FLAIR MR.
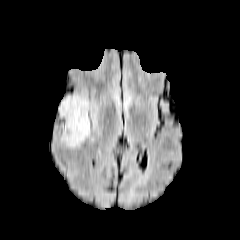
T1-weighted MR.
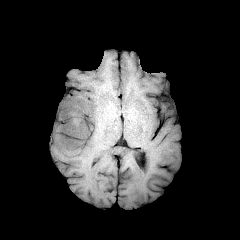
Post-contrast T1-weighted magnetic resonance.
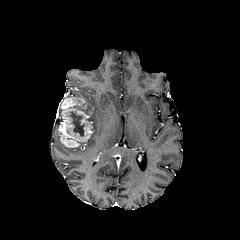
T2-weighted MR image.
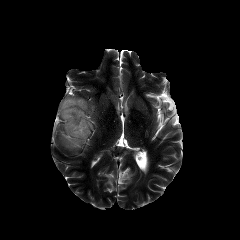
240x240 px
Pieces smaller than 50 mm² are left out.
peritumoral edema at left=83, top=98, right=92, bottom=115
enhancing tumor at left=58, top=96, right=92, bottom=147
necrotic tumor core at left=70, top=111, right=84, bottom=136